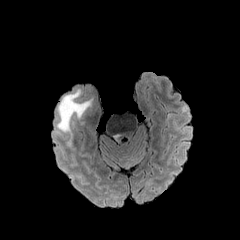
FLAIR MRI.
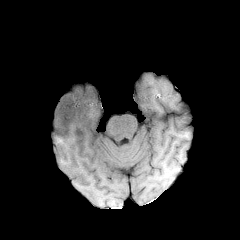
T1-weighted MRI of the same slice.
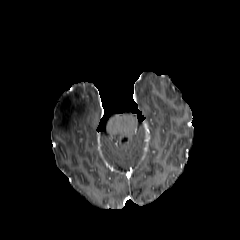
Post-contrast T1-weighted magnetic resonance.
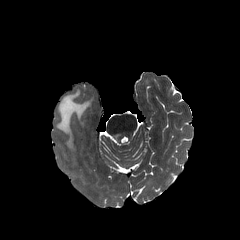
T2-weighted MRI.
240x240, Brain
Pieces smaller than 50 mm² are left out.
The largest peritumoral edema region is at (left=56, top=89, right=90, bottom=148).